FLAIR magnetic resonance.
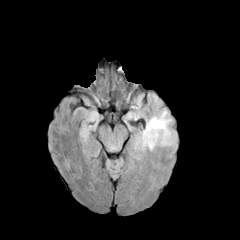
T1-weighted magnetic resonance.
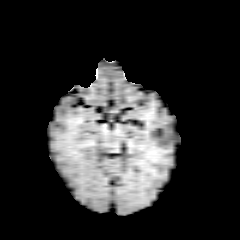
Post-contrast T1-weighted MR.
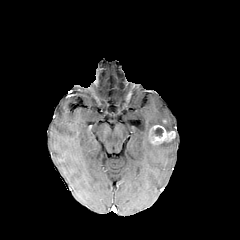
T2-weighted MR image.
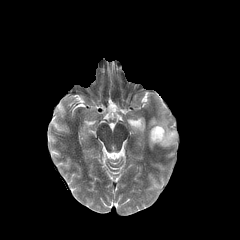
Annotated regions:
- peritumoral edema: 141,111,176,149
- enhancing tumor: 149,125,175,143
- necrotic tumor core: 153,127,163,136